Head, Image width 240 mm
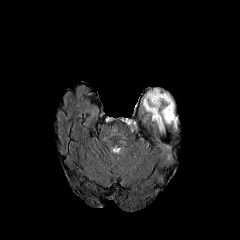
FLAIR magnetic resonance.
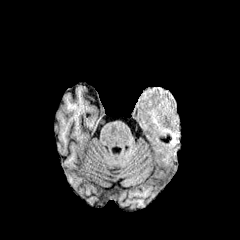
T1-weighted MRI.
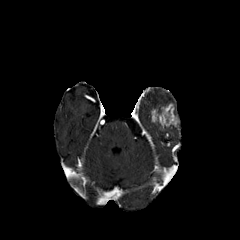
Same slice, post-contrast T1-weighted magnetic resonance.
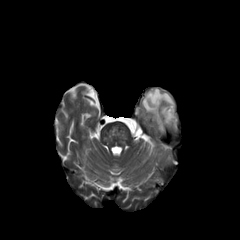
T2-weighted MRI of the same slice.
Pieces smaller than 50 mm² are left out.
{"enhancing_tumor": ["[151,103,178,129]"], "peritumoral_edema": ["[142,88,173,113]"]}